FLAIR MR.
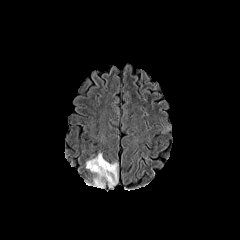
T1-weighted magnetic resonance.
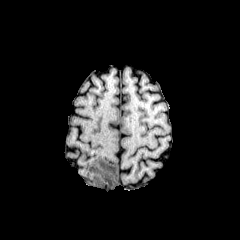
Post-contrast T1-weighted MR image.
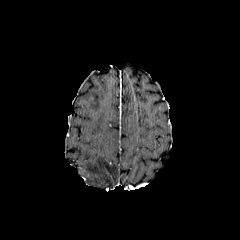
T2-weighted magnetic resonance.
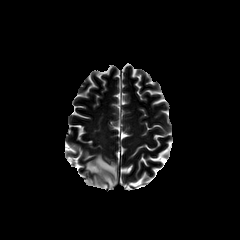
peritumoral edema = (86,153,117,188)